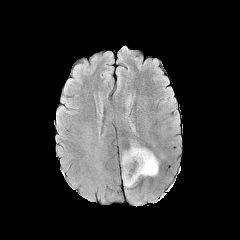
FLAIR MR.
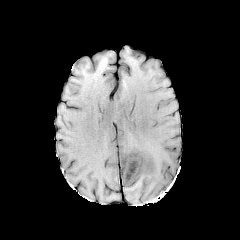
Same slice, T1-weighted magnetic resonance.
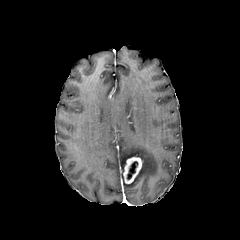
Post-contrast T1-weighted MR image.
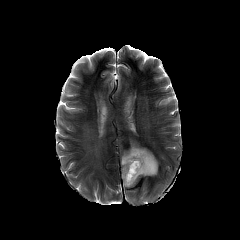
T2-weighted magnetic resonance.
Axial view; Image size 240x240
The enhancing tumor is located at x1=123, y1=157, x2=142, y2=183. The peritumoral edema is located at x1=121, y1=141, x2=158, y2=187. The necrotic tumor core appears at x1=127, y1=161, x2=137, y2=179.